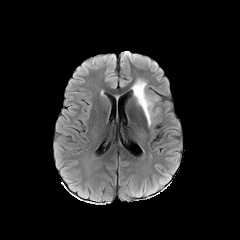
FLAIR MRI.
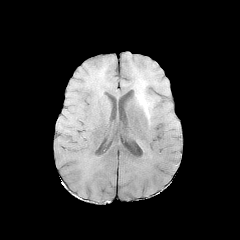
Same slice, T1-weighted MR.
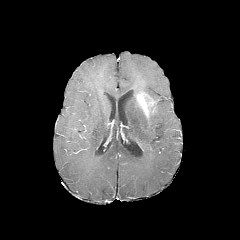
Same slice, post-contrast T1-weighted MRI.
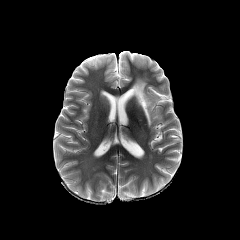
T2-weighted MRI.
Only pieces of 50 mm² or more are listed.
The enhancing tumor is bounded by 136 92 155 117. The 2 largest peritumoral edema regions appear at 131 79 146 97, 147 106 158 126.